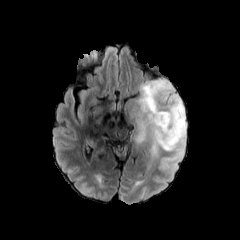
FLAIR MRI.
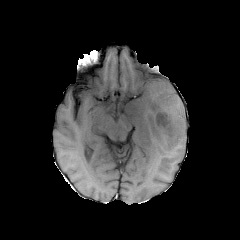
T1-weighted MR image.
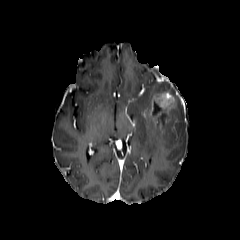
Post-contrast T1-weighted MR.
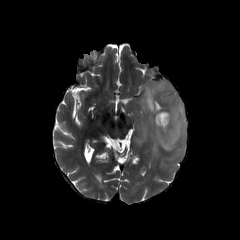
T2-weighted magnetic resonance of the same slice.
240x240 px
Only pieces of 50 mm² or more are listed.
Annotated regions:
- peritumoral edema: x1=130 y1=79 x2=186 y2=155
- enhancing tumor: x1=150 y1=91 x2=177 y2=127
- necrotic tumor core: x1=153 y1=103 x2=160 y2=114